FLAIR MR image.
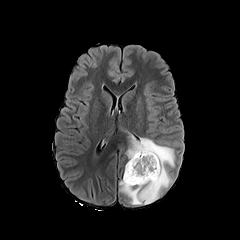
T1-weighted magnetic resonance.
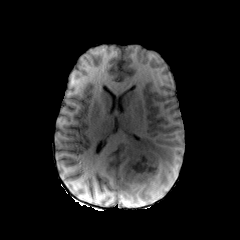
Post-contrast T1-weighted MRI.
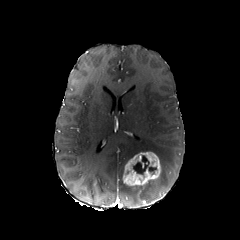
T2-weighted MR image.
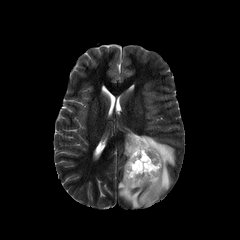
Head
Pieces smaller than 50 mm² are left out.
The largest necrotic tumor core region is located at 133:155:149:174. The peritumoral edema is at 119:133:176:204. The enhancing tumor is located at 123:151:160:187.